Axial view
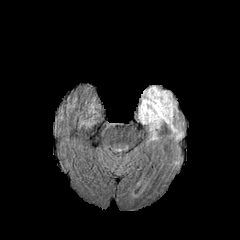
FLAIR MR.
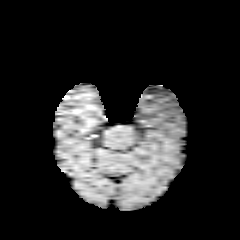
Same slice, T1-weighted MR image.
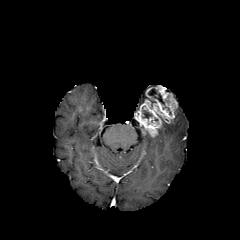
Post-contrast T1-weighted MRI of the same slice.
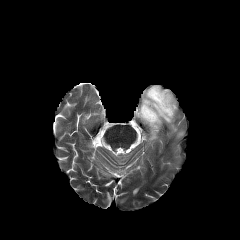
T2-weighted MRI.
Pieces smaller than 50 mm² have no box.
enhancing_tumor:
  - 137,85,177,137
necrotic_tumor_core:
  - 148,89,164,104
  - 143,110,152,118
peritumoral_edema:
  - 167,121,183,139